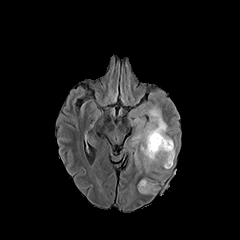
FLAIR magnetic resonance.
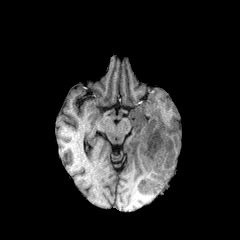
Same slice, T1-weighted MR.
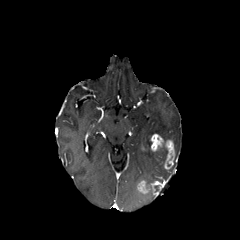
Post-contrast T1-weighted MR image.
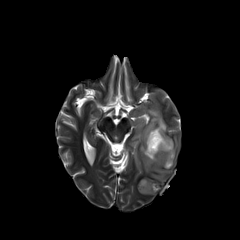
Same slice, T2-weighted MR image.
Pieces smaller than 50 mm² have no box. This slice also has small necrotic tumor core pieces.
{"peritumoral_edema": ["left=131, top=90, right=177, bottom=181", "left=135, top=151, right=140, bottom=165"], "enhancing_tumor": ["left=137, top=180, right=160, bottom=194", "left=150, top=133, right=174, bottom=169"]}